Head | Slice 66 of 155 | Axial view
FLAIR magnetic resonance.
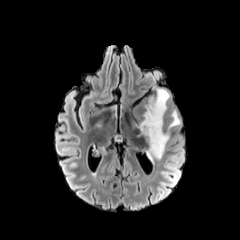
T1-weighted magnetic resonance.
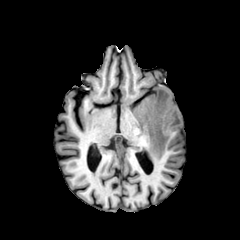
Post-contrast T1-weighted MR image.
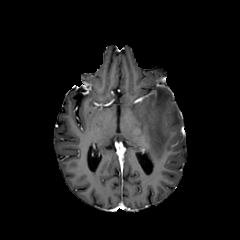
T2-weighted MR image.
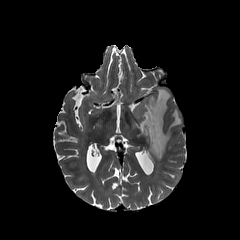
peritumoral edema: rect(135, 88, 181, 159)